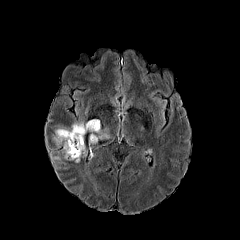
FLAIR MR image.
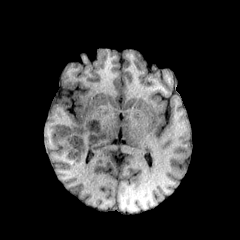
T1-weighted MR.
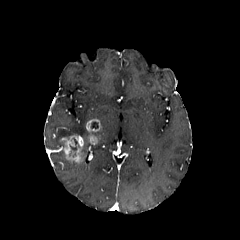
Same slice, post-contrast T1-weighted MR.
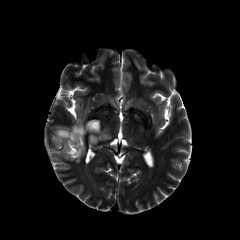
Same slice, T2-weighted magnetic resonance.
Head, Axial view
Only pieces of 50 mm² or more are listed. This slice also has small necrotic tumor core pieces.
Segmented structures:
• enhancing tumor: (left=60, top=135, right=83, bottom=162), (left=86, top=119, right=101, bottom=144)
• peritumoral edema: (left=99, top=128, right=110, bottom=140), (left=57, top=122, right=86, bottom=138)